FLAIR MR image.
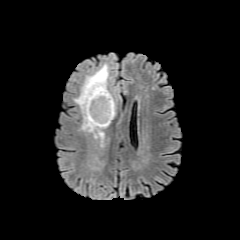
T1-weighted MR image.
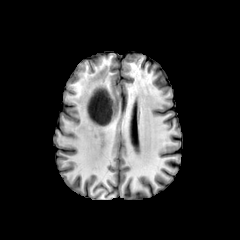
Post-contrast T1-weighted MR.
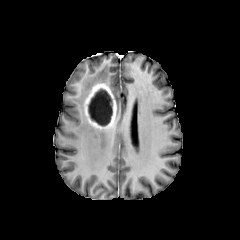
T2-weighted MR.
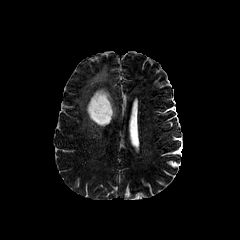
Head
- enhancing tumor: (84,83,116,129)
- peritumoral edema: (74,64,108,145)
- necrotic tumor core: (88,89,112,126)